FLAIR MRI.
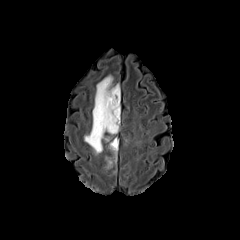
T1-weighted MR image.
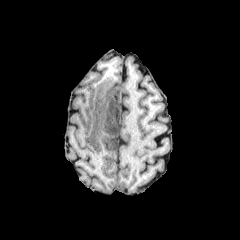
Post-contrast T1-weighted MR image.
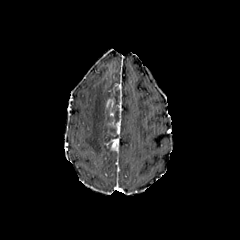
T2-weighted MRI.
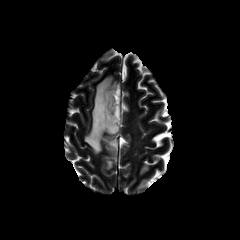
240x240 px; Axial view
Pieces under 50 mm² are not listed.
Findings:
• necrotic tumor core: [111,86,119,105], [106,102,119,122]
• enhancing tumor: [111,139,118,150], [106,85,121,134]
• peritumoral edema: [84,76,113,153]